Slice 72/155.
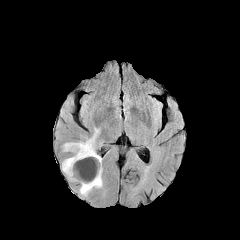
FLAIR MR image.
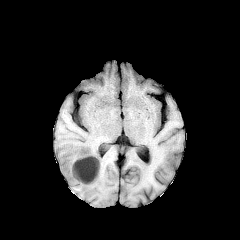
Same slice, T1-weighted MR image.
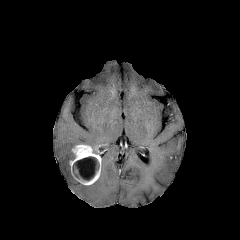
Post-contrast T1-weighted MR of the same slice.
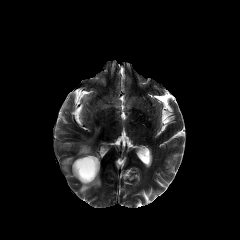
T2-weighted MRI.
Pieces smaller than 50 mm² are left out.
The 3 largest peritumoral edema regions are located at (63, 128, 99, 153), (62, 155, 75, 179), (79, 174, 102, 196). The necrotic tumor core lies within (73, 156, 98, 180). The largest enhancing tumor region is at (69, 144, 101, 185).